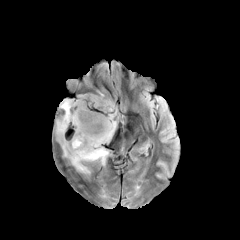
FLAIR MR image.
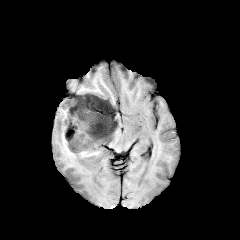
Same slice, T1-weighted magnetic resonance.
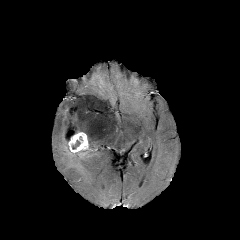
Post-contrast T1-weighted magnetic resonance.
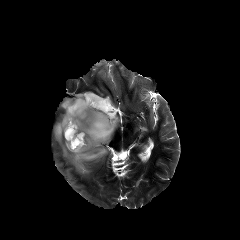
Same slice, T2-weighted magnetic resonance.
240x240 | Head
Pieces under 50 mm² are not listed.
necrotic tumor core: l=66, t=130, r=76, b=141
peritumoral edema: l=54, t=91, r=119, b=174
enhancing tumor: l=65, t=129, r=88, b=153